Head; Image size 240x240
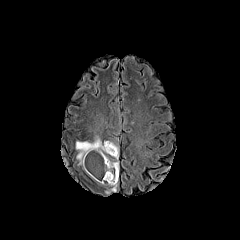
FLAIR MR.
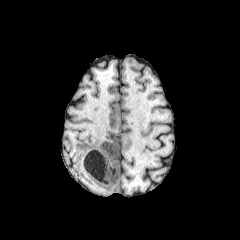
T1-weighted MR image of the same slice.
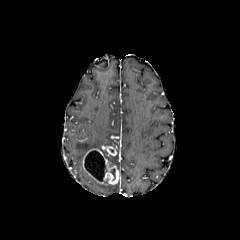
Post-contrast T1-weighted magnetic resonance.
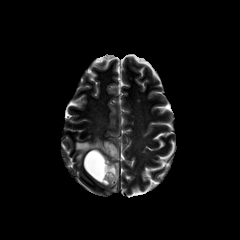
Same slice, T2-weighted magnetic resonance.
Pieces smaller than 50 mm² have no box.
Annotated regions:
- enhancing tumor: <box>104,146,116,156</box>, <box>83,148,118,184</box>
- peritumoral edema: <box>75,137,101,165</box>, <box>106,183,117,193</box>
- necrotic tumor core: <box>84,150,105,181</box>